FLAIR MR image.
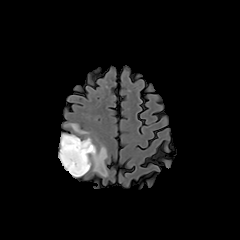
T1-weighted magnetic resonance.
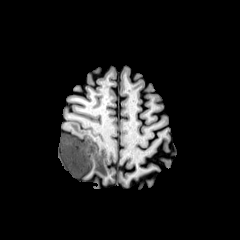
Post-contrast T1-weighted magnetic resonance.
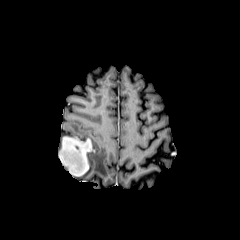
T2-weighted MR image.
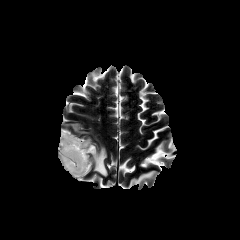
240x240 px, Brain
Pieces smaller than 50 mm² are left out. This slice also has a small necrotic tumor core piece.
peritumoral edema: bounding box (85,142,107,176), (60,134,76,147), (67,123,88,134)
enhancing tumor: bounding box (59,136,94,176)